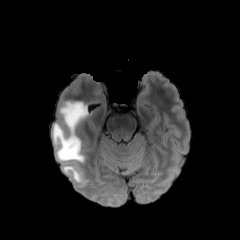
FLAIR MR image.
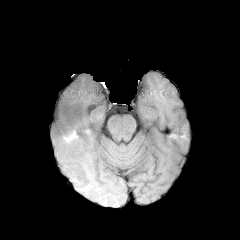
Same slice, T1-weighted magnetic resonance.
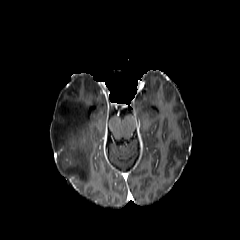
Same slice, post-contrast T1-weighted MRI.
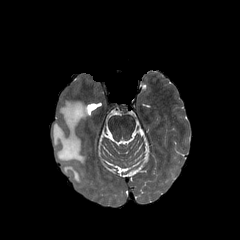
T2-weighted MR.
peritumoral edema: bounding box 52 100 88 183